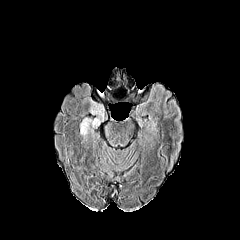
FLAIR MRI.
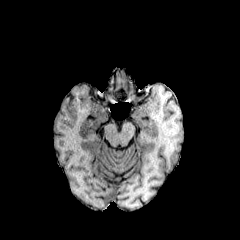
T1-weighted MRI.
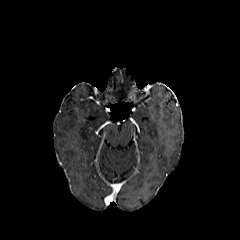
Post-contrast T1-weighted MR.
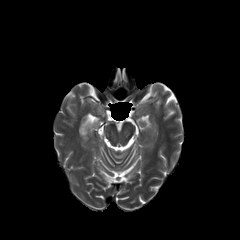
T2-weighted magnetic resonance.
Axial view; Head
peritumoral edema: bounding box l=80, t=104, r=104, b=136